Head
FLAIR MRI.
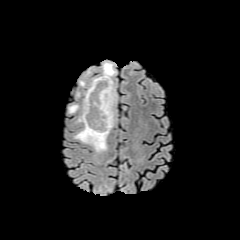
T1-weighted MR image.
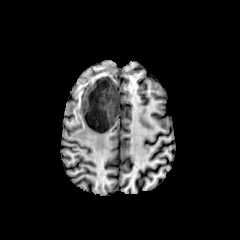
Post-contrast T1-weighted MR image.
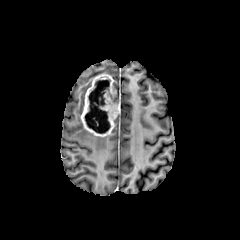
T2-weighted MR image.
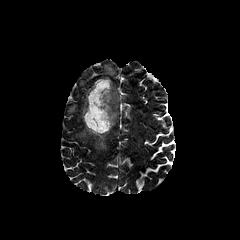
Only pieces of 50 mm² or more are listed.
The enhancing tumor is bounded by <bbox>81, 74, 119, 136</bbox>. The necrotic tumor core lies within <bbox>85, 80, 110, 133</bbox>. The 3 largest peritumoral edema regions are located at <bbox>102, 62, 116, 77</bbox>, <bbox>74, 125, 108, 152</bbox>, <bbox>68, 104, 78, 113</bbox>.